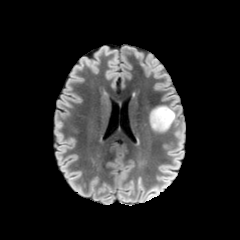
FLAIR MR.
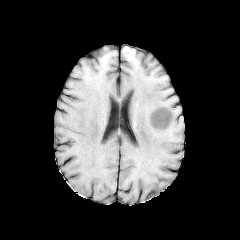
T1-weighted magnetic resonance.
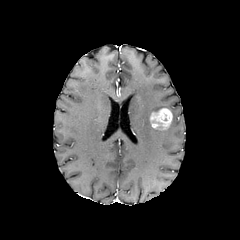
Post-contrast T1-weighted MRI of the same slice.
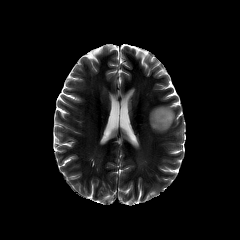
Same slice, T2-weighted magnetic resonance.
Head. Axial plane. Image size 240x240.
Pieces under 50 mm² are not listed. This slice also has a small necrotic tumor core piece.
Findings:
• peritumoral edema: [151, 106, 176, 124]
• enhancing tumor: [150, 108, 172, 129]